FLAIR MR.
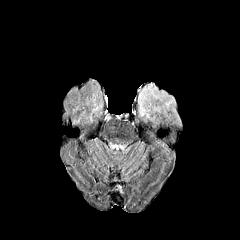
T1-weighted magnetic resonance.
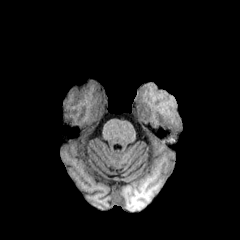
Post-contrast T1-weighted magnetic resonance.
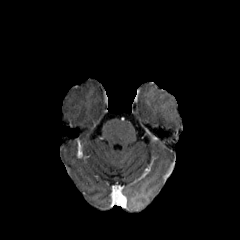
T2-weighted MR.
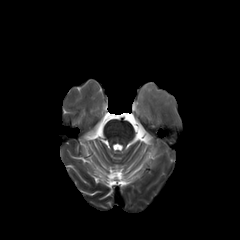
Axial slice
peritumoral edema: bounding box 138:85:179:122